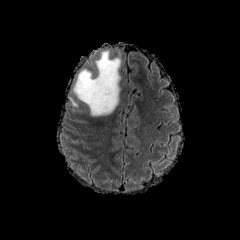
FLAIR MRI.
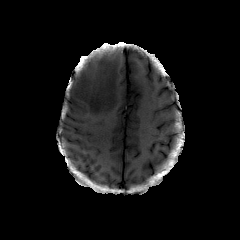
T1-weighted MR image of the same slice.
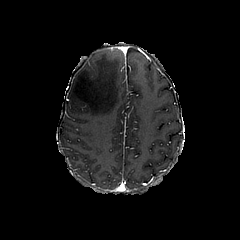
Post-contrast T1-weighted magnetic resonance.
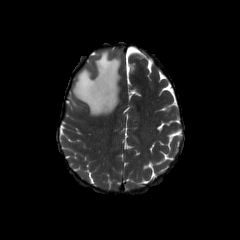
Same slice, T2-weighted MR image.
Brain, Image size 240x240
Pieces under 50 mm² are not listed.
The largest peritumoral edema region is located at l=72, t=50, r=120, b=116.